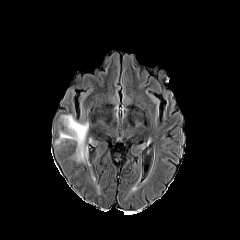
FLAIR MR image.
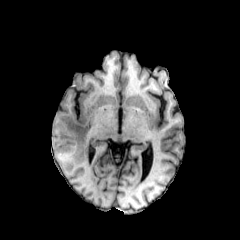
T1-weighted MR image.
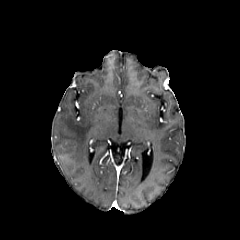
Post-contrast T1-weighted MR image.
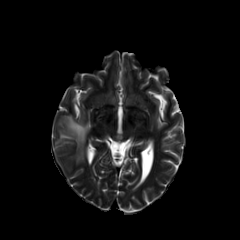
T2-weighted MR.
Axial slice. 240x240 px. Head.
The peritumoral edema is located at region(55, 115, 89, 162).